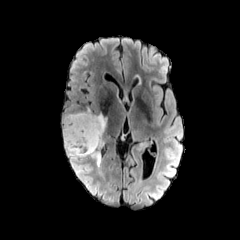
FLAIR MRI.
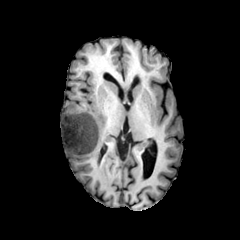
T1-weighted MRI of the same slice.
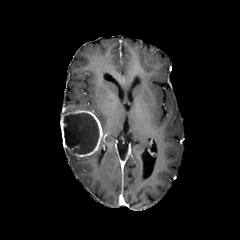
Post-contrast T1-weighted magnetic resonance.
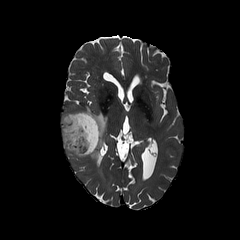
T2-weighted magnetic resonance.
Head
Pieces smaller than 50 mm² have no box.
<segmentation>
  <necrotic_tumor_core>{"x1": 63, "y1": 112, "x2": 98, "y2": 154}</necrotic_tumor_core>
  <peritumoral_edema>{"x1": 65, "y1": 150, "x2": 86, "y2": 166}, {"x1": 88, "y1": 142, "x2": 104, "y2": 167}, {"x1": 96, "y1": 110, "x2": 107, "y2": 133}</peritumoral_edema>
  <enhancing_tumor>{"x1": 60, "y1": 105, "x2": 105, "y2": 157}</enhancing_tumor>
</segmentation>